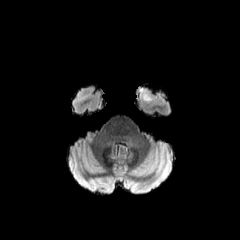
FLAIR magnetic resonance.
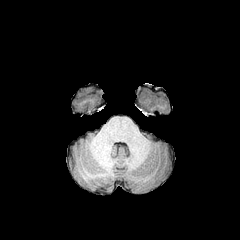
T1-weighted MRI.
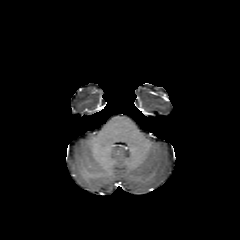
Same slice, post-contrast T1-weighted magnetic resonance.
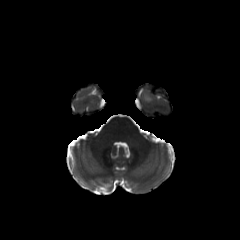
Same slice, T2-weighted MR.
Brain. 240x240 px.
Segmented structures:
• peritumoral edema: x1=139, y1=87, x2=150, y2=100